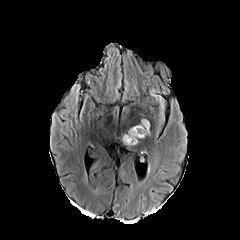
FLAIR magnetic resonance.
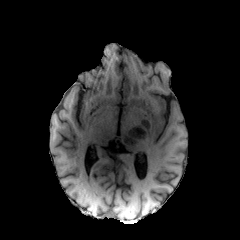
T1-weighted MR.
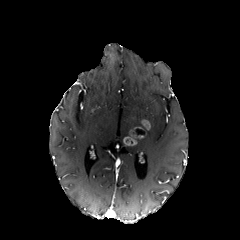
Post-contrast T1-weighted MR.
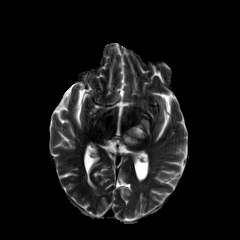
T2-weighted MR.
Axial plane, Head
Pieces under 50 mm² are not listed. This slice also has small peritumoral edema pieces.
<segmentation>
  <necrotic_tumor_core>x1=132 y1=126 x2=146 y2=135</necrotic_tumor_core>
  <enhancing_tumor>x1=123 y1=126 x2=144 y2=145, x1=141 y1=119 x2=150 y2=129</enhancing_tumor>
</segmentation>